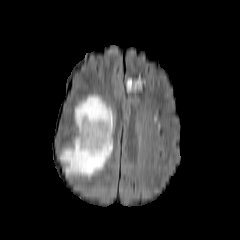
FLAIR MR image.
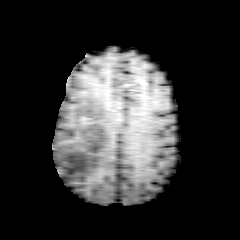
T1-weighted MR of the same slice.
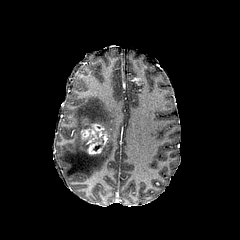
Post-contrast T1-weighted MR image.
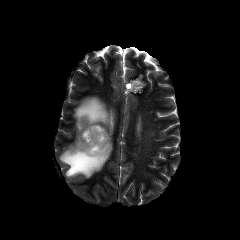
T2-weighted MRI of the same slice.
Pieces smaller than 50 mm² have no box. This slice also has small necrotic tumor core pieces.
Annotated regions:
• peritumoral edema: left=60, top=95, right=114, bottom=177
• enhancing tumor: left=81, top=123, right=109, bottom=154